FLAIR MR image.
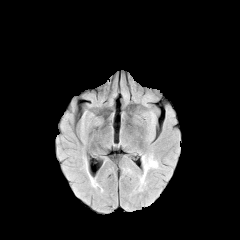
T1-weighted MRI.
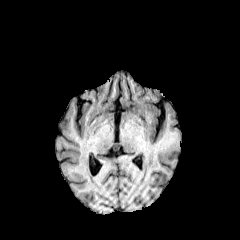
Post-contrast T1-weighted MR.
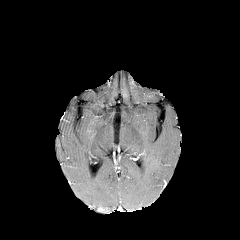
T2-weighted MR.
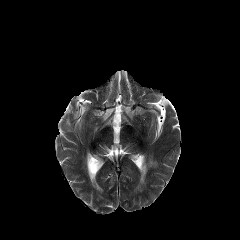
Axial view. Head.
peritumoral edema — [x1=139, y1=156, x2=157, y2=189]